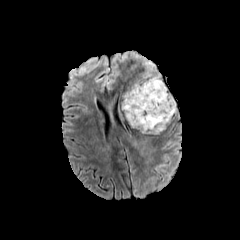
FLAIR MRI.
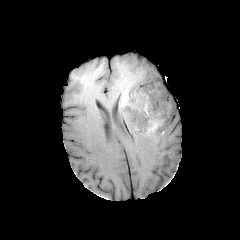
T1-weighted magnetic resonance.
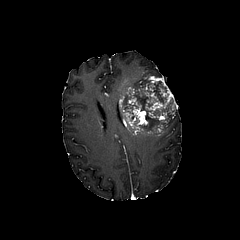
Same slice, post-contrast T1-weighted MR image.
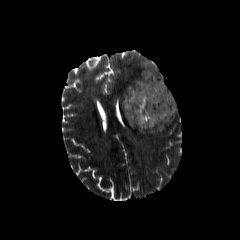
T2-weighted MR image of the same slice.
Axial view, Head
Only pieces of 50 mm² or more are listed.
{
  "necrotic_tumor_core": [
    "[123,93,138,110]",
    "[153,82,166,103]",
    "[133,85,172,130]"
  ],
  "enhancing_tumor": [
    "[120,75,177,135]"
  ],
  "peritumoral_edema": [
    "[139,59,160,80]"
  ]
}